Head | Axial view | 240x240
FLAIR magnetic resonance.
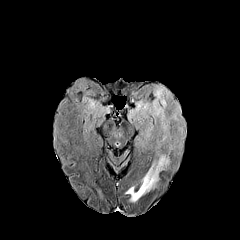
T1-weighted MRI.
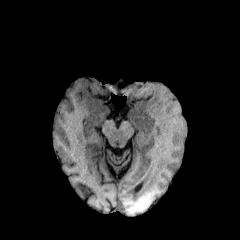
Post-contrast T1-weighted MR image.
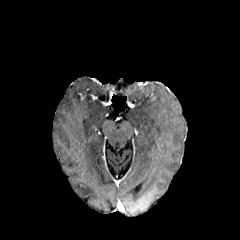
T2-weighted MR.
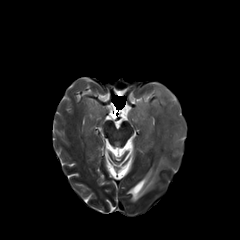
peritumoral edema — rect(126, 85, 185, 201)